Slice 74/155 | Head | Image width 240 mm, 1.00 mm slice spacing | Image size 240x240
FLAIR MR image.
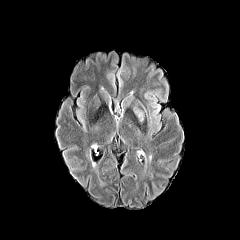
T1-weighted magnetic resonance.
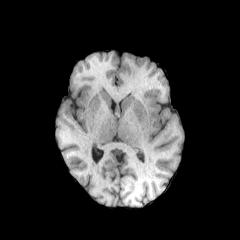
Post-contrast T1-weighted magnetic resonance.
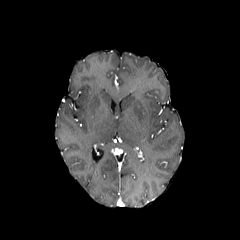
T2-weighted MR.
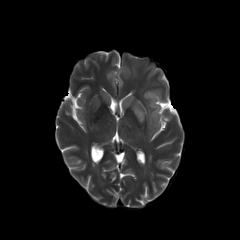
peritumoral edema: bounding box box(133, 106, 144, 123); box(123, 95, 133, 108)